Brain; Axial slice
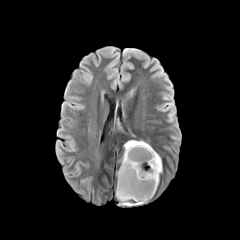
FLAIR MRI.
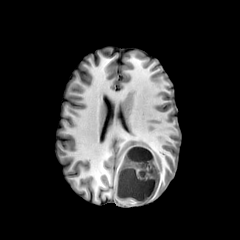
T1-weighted MR.
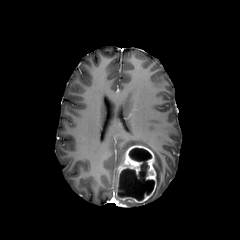
Same slice, post-contrast T1-weighted MR image.
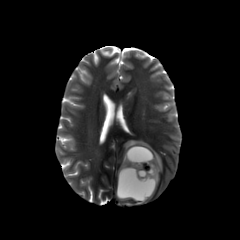
T2-weighted MRI.
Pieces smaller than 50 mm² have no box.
The largest necrotic tumor core region is located at l=117, t=148, r=154, b=200. The enhancing tumor lies within l=117, t=145, r=156, b=202. The largest peritumoral edema region is at l=121, t=140, r=162, b=186.